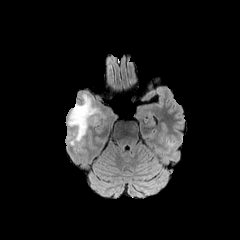
FLAIR MR image.
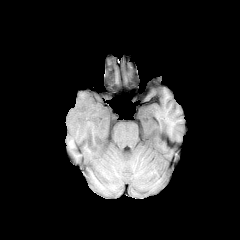
T1-weighted MR image.
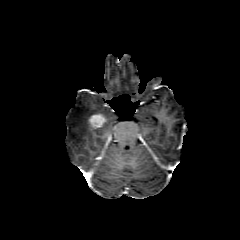
Post-contrast T1-weighted MRI.
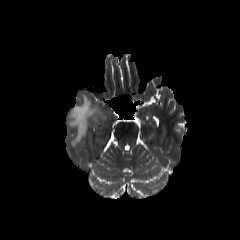
T2-weighted MR of the same slice.
Axial plane, Image size 240x240
• peritumoral edema: bbox(68, 94, 105, 145)
• enhancing tumor: bbox(88, 114, 107, 128)